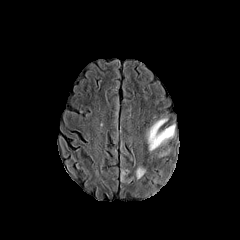
FLAIR magnetic resonance.
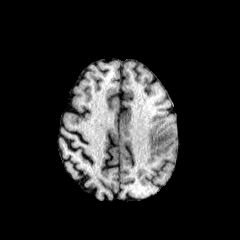
T1-weighted MR image.
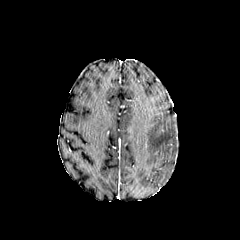
Post-contrast T1-weighted magnetic resonance.
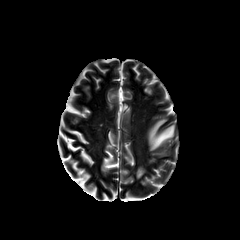
Same slice, T2-weighted magnetic resonance.
Brain
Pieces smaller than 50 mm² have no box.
• peritumoral edema: bbox(120, 168, 132, 182); bbox(136, 166, 145, 178); bbox(146, 118, 175, 151)